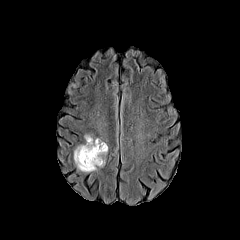
FLAIR MR image.
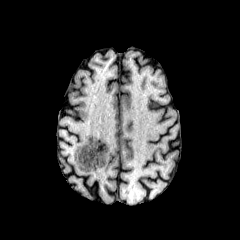
T1-weighted magnetic resonance.
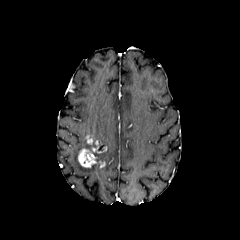
Post-contrast T1-weighted MR.
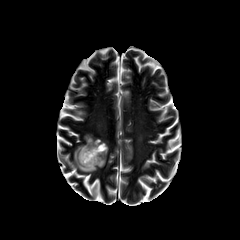
T2-weighted MR of the same slice.
Head | Axial view
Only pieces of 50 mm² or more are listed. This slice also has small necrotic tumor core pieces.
Segmented structures:
- enhancing tumor: (86,135,93,144), (91,140,107,153), (78,148,97,167)
- peritumoral edema: (74,144,108,172)